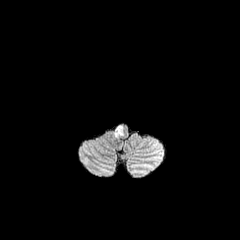
FLAIR MRI.
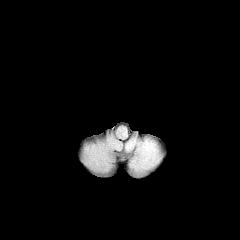
T1-weighted MRI.
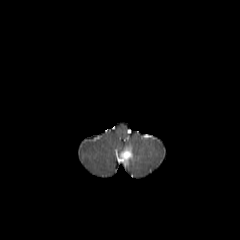
Same slice, post-contrast T1-weighted MR image.
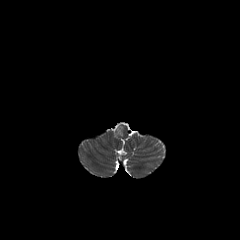
T2-weighted MR image.
Head
peritumoral edema: (114,125,124,138)